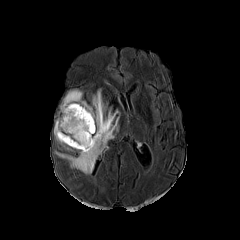
FLAIR magnetic resonance.
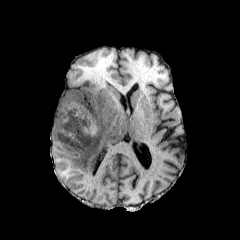
T1-weighted magnetic resonance of the same slice.
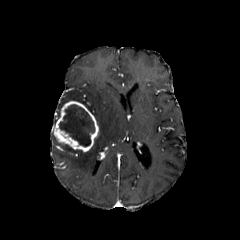
Post-contrast T1-weighted MR.
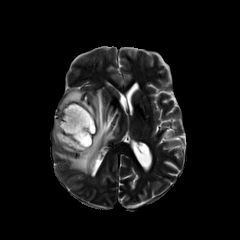
T2-weighted MR image.
Axial plane; Head; 240x240
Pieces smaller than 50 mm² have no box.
The enhancing tumor is bounded by 53 101 98 152. The largest necrotic tumor core region is at 59 104 94 146. The 2 largest peritumoral edema regions are bounded by 59 90 86 109, 55 89 119 173.